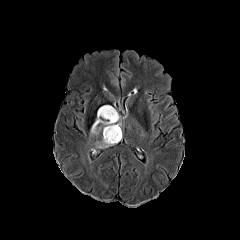
FLAIR MR.
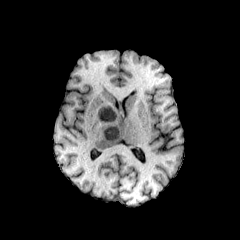
T1-weighted MR of the same slice.
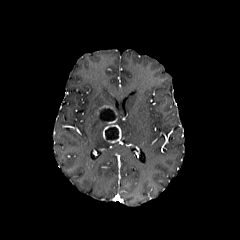
Post-contrast T1-weighted MRI of the same slice.
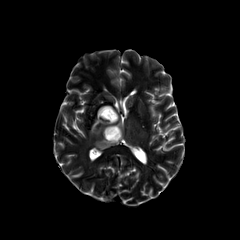
Same slice, T2-weighted MR image.
Brain; Axial plane; 240x240 px
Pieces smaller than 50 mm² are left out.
The 2 largest enhancing tumor regions are located at l=99, t=105, r=117, b=115; l=103, t=117, r=121, b=143. The 2 largest peritumoral edema regions are bounded by l=95, t=138, r=116, b=148; l=90, t=115, r=106, b=136. 2 necrotic tumor core regions are located at l=99, t=108, r=117, b=121; l=105, t=127, r=118, b=140.